FLAIR MR image.
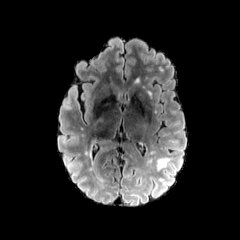
T1-weighted magnetic resonance.
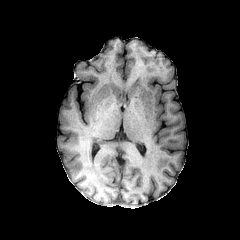
Post-contrast T1-weighted MR.
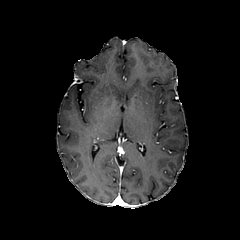
T2-weighted MR image.
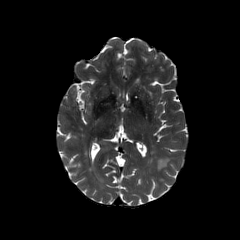
Axial slice | 240x240 px | Brain
The peritumoral edema lies within {"x1": 157, "y1": 158, "x2": 169, "y2": 169}.